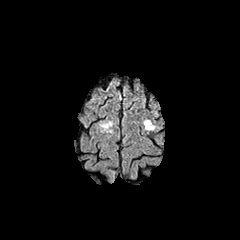
FLAIR MRI.
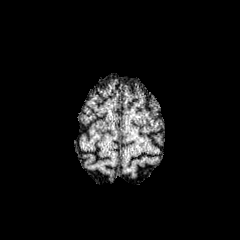
T1-weighted MR image.
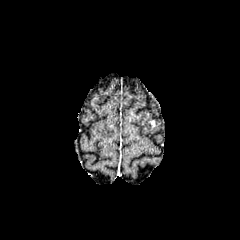
Post-contrast T1-weighted magnetic resonance.
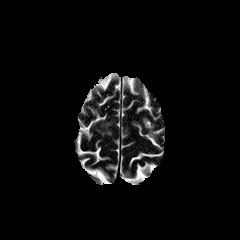
T2-weighted MRI.
Head. Axial plane. 240x240.
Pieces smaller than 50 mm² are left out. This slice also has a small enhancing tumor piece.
peritumoral edema: box(143, 119, 156, 130); box(100, 121, 112, 131)